FLAIR magnetic resonance.
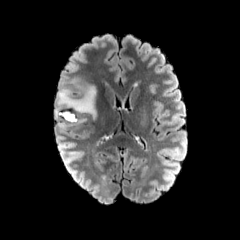
T1-weighted magnetic resonance.
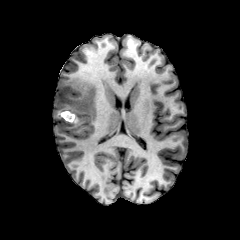
Post-contrast T1-weighted MR.
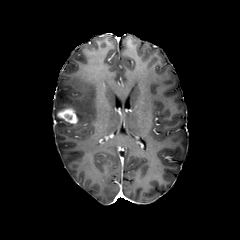
T2-weighted MRI.
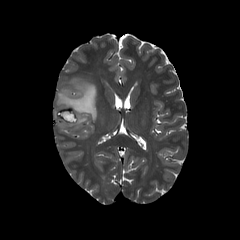
Brain
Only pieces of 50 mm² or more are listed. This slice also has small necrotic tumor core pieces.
peritumoral edema: bounding box (54, 77, 96, 128)
enhancing tumor: bounding box (57, 108, 77, 123)